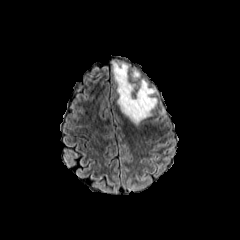
FLAIR MR image.
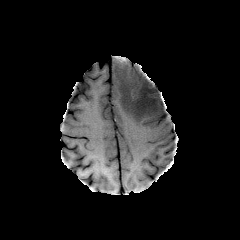
T1-weighted MR image of the same slice.
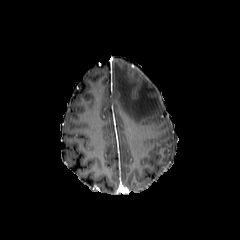
Post-contrast T1-weighted MRI.
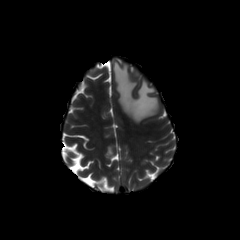
T2-weighted MR of the same slice.
Brain
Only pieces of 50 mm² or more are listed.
Findings:
- peritumoral edema: x1=113 y1=62 x2=157 y2=124